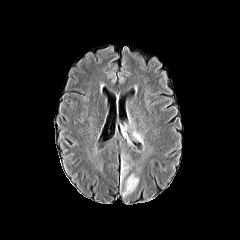
FLAIR MR.
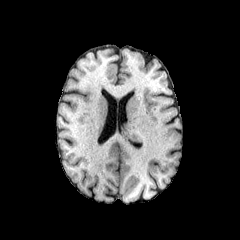
Same slice, T1-weighted MRI.
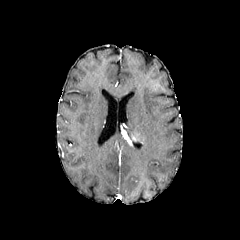
Post-contrast T1-weighted MR image of the same slice.
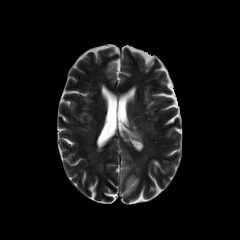
T2-weighted MR image of the same slice.
Head, 240x240
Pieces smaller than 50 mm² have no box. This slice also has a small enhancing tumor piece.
Segmented structures:
* peritumoral edema: (122,173,139,197), (132,130,144,144), (119,157,128,182)